240x240, Axial plane, Head
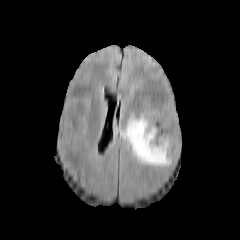
FLAIR MRI.
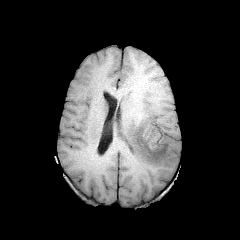
T1-weighted MRI.
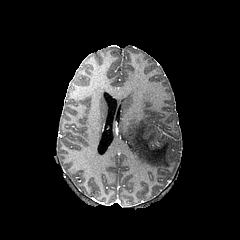
Post-contrast T1-weighted MRI.
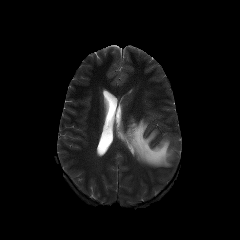
T2-weighted magnetic resonance.
<segmentation>
  <peritumoral_edema>(121,115,171,166)</peritumoral_edema>
</segmentation>